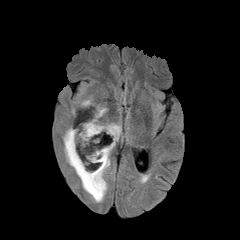
FLAIR magnetic resonance.
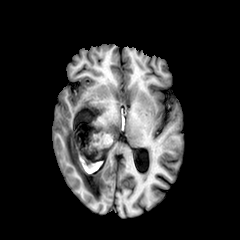
T1-weighted magnetic resonance.
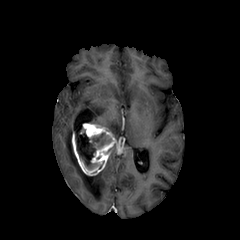
Post-contrast T1-weighted magnetic resonance.
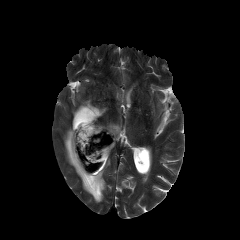
T2-weighted MRI.
240x240 px. Brain.
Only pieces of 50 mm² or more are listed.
enhancing tumor = l=72, t=123, r=116, b=175
necrotic tumor core = l=75, t=132, r=111, b=169
peritumoral edema = l=100, t=123, r=121, b=140; l=81, t=100, r=90, b=106; l=95, t=107, r=106, b=117; l=63, t=128, r=110, b=202